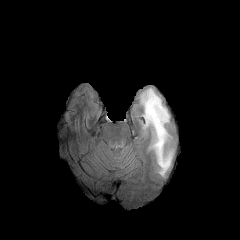
FLAIR MRI.
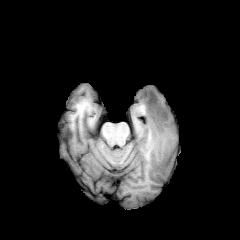
T1-weighted MR.
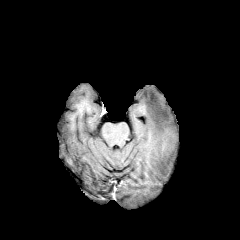
Same slice, post-contrast T1-weighted MR image.
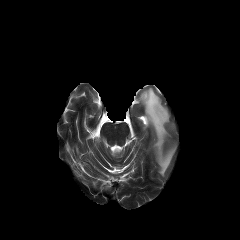
Same slice, T2-weighted MR image.
Axial slice, Brain
Findings:
* peritumoral edema: [139, 88, 174, 176]